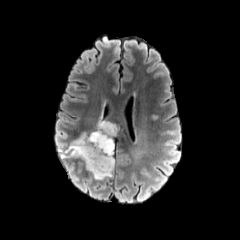
FLAIR MRI.
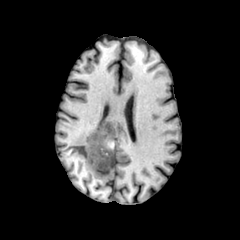
T1-weighted magnetic resonance of the same slice.
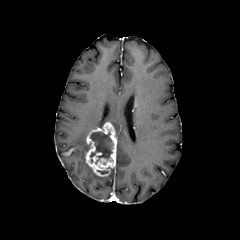
Same slice, post-contrast T1-weighted MRI.
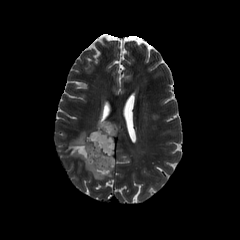
Same slice, T2-weighted MR image.
Axial slice. 240x240.
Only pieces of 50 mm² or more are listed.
peritumoral edema: bounding box [58, 133, 90, 161], [85, 162, 113, 179]
enhancing tumor: bounding box [80, 122, 115, 176]
necrotic tumor core: bounding box [90, 131, 113, 158]